FLAIR MRI.
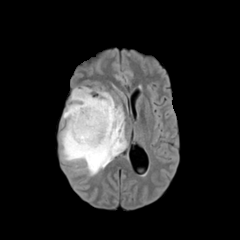
T1-weighted MR.
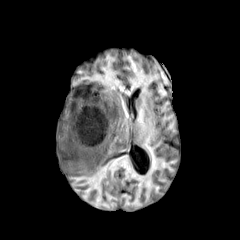
Post-contrast T1-weighted MRI.
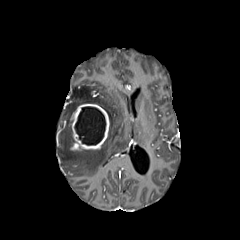
T2-weighted MR.
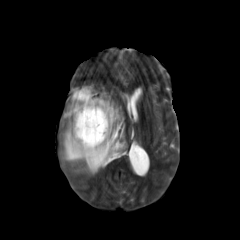
Head
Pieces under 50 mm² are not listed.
{"necrotic_tumor_core": ["74:106:105:145"], "enhancing_tumor": ["70:103:109:150"], "peritumoral_edema": ["60:86:126:175"]}